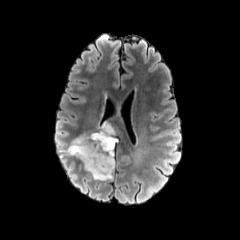
FLAIR MR.
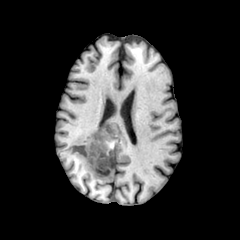
Same slice, T1-weighted MR.
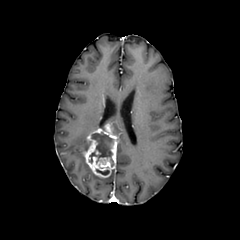
Same slice, post-contrast T1-weighted magnetic resonance.
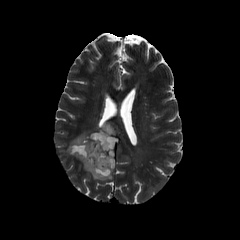
T2-weighted magnetic resonance.
Head. Axial view.
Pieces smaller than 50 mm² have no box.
{"enhancing_tumor": ["80 123 117 178"], "necrotic_tumor_core": ["89 132 113 162", "96 169 109 175"], "peritumoral_edema": ["59 135 113 180"]}